FLAIR MRI.
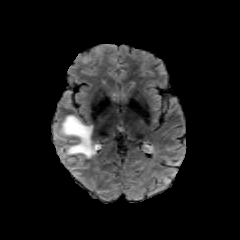
T1-weighted MR.
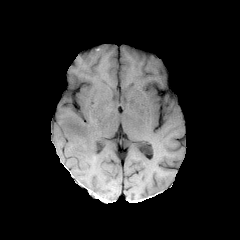
Post-contrast T1-weighted magnetic resonance.
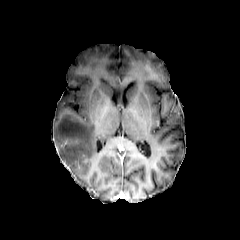
T2-weighted MR.
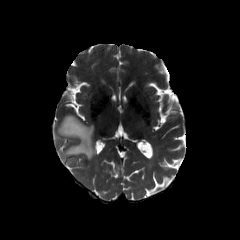
Image size 240x240 | Brain | Axial slice
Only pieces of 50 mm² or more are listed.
peritumoral edema — 55 116 99 170